FLAIR MRI.
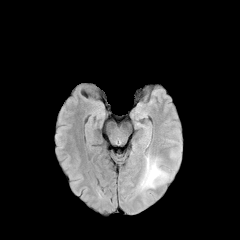
T1-weighted MR.
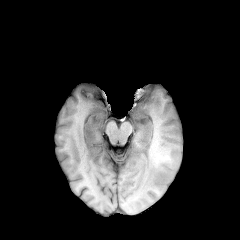
Post-contrast T1-weighted MRI.
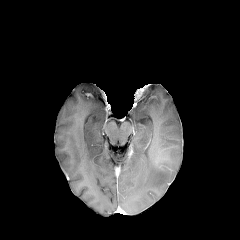
T2-weighted MRI.
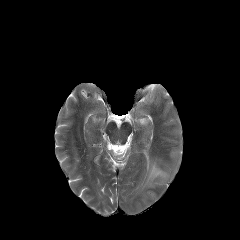
<segmentation>
  <peritumoral_edema>x1=140, y1=156, x2=168, y2=189</peritumoral_edema>
</segmentation>